FLAIR MRI.
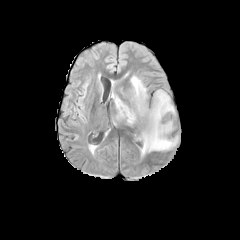
T1-weighted MR image.
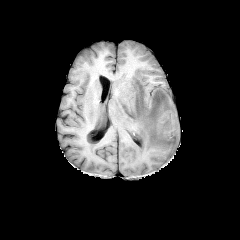
Post-contrast T1-weighted MR image.
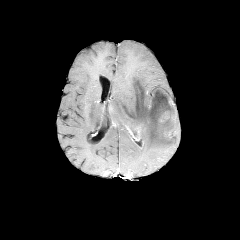
T2-weighted MRI.
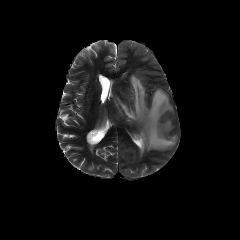
Axial plane
The peritumoral edema appears at box(112, 75, 177, 155).